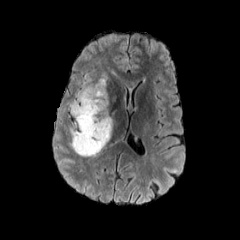
FLAIR magnetic resonance.
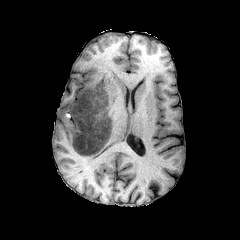
T1-weighted magnetic resonance.
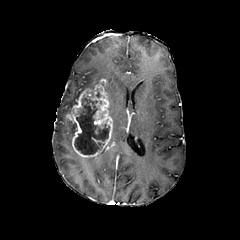
Post-contrast T1-weighted magnetic resonance of the same slice.
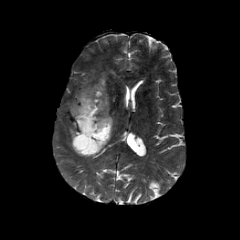
T2-weighted MR image of the same slice.
Brain
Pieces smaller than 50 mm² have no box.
The largest necrotic tumor core region is at 74, 98, 109, 155. The 2 largest peritumoral edema regions appear at 70, 122, 75, 146; 64, 73, 107, 115. The largest enhancing tumor region lies within 70, 78, 113, 157.